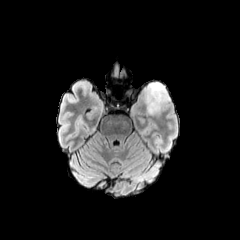
FLAIR MR image.
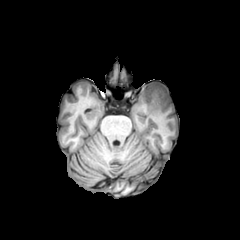
T1-weighted MR image of the same slice.
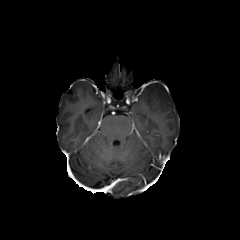
Post-contrast T1-weighted MRI.
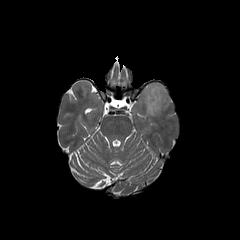
T2-weighted MRI.
Head; Axial plane
The peritumoral edema is at (144,82,170,114).